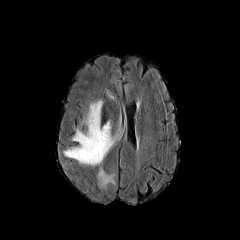
FLAIR magnetic resonance.
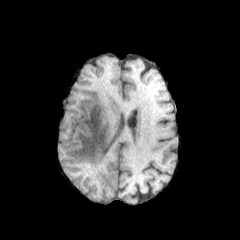
T1-weighted magnetic resonance.
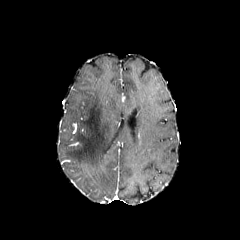
Same slice, post-contrast T1-weighted MRI.
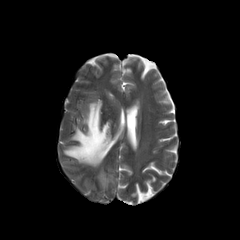
T2-weighted MR.
Axial plane | Image size 240x240
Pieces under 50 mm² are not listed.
peritumoral edema at region(96, 167, 115, 189); region(62, 100, 123, 165)